FLAIR MR.
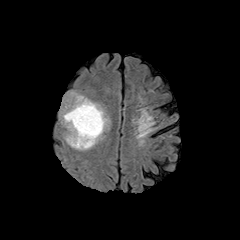
T1-weighted magnetic resonance.
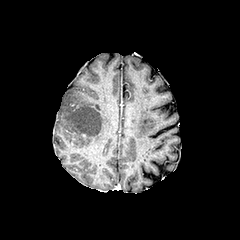
Post-contrast T1-weighted MR.
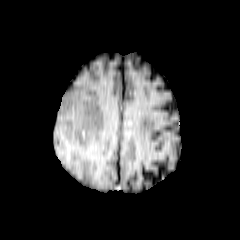
T2-weighted magnetic resonance.
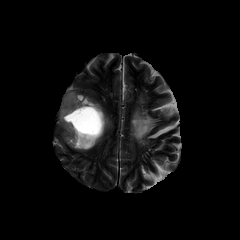
240x240. Axial slice. Brain.
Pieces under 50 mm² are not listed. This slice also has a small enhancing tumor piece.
necrotic tumor core at (x1=63, y1=105, x2=102, y2=136)
peritumoral edema at (x1=60, y1=91, x2=109, y2=150)